Axial view; Slice index 46
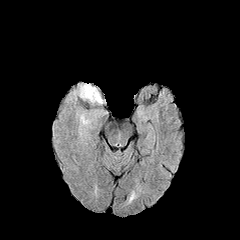
FLAIR MR image.
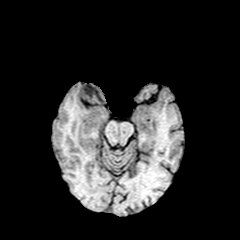
Same slice, T1-weighted magnetic resonance.
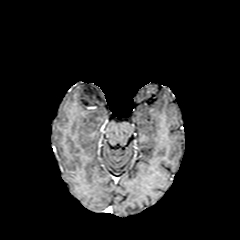
Same slice, post-contrast T1-weighted MR image.
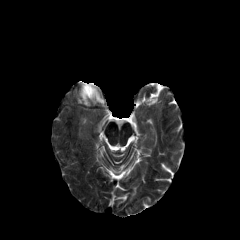
T2-weighted MR image.
peritumoral edema: bbox(80, 84, 102, 102)